FLAIR MR image.
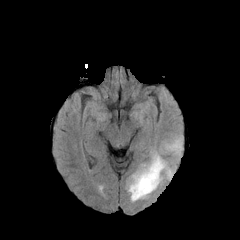
T1-weighted MR.
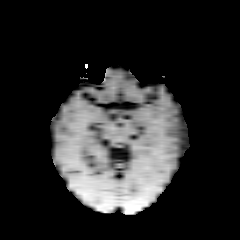
Post-contrast T1-weighted magnetic resonance.
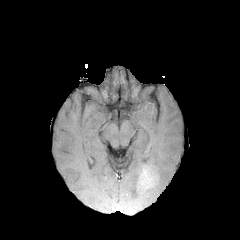
T2-weighted magnetic resonance.
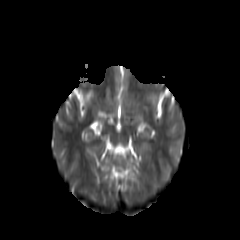
Axial plane
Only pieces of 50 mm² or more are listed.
The 2 largest peritumoral edema regions are bounded by (x1=126, y1=152, x2=171, y2=201), (x1=164, y1=138, x2=182, y2=155). The enhancing tumor is at (x1=137, y1=169, x2=155, y2=190).